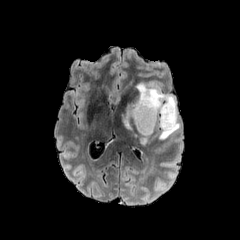
FLAIR MR.
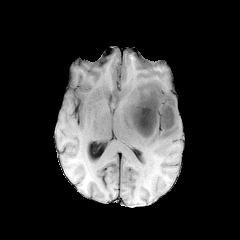
T1-weighted MR image.
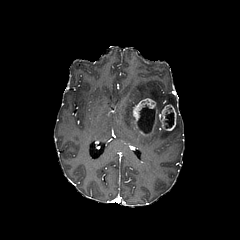
Post-contrast T1-weighted magnetic resonance of the same slice.
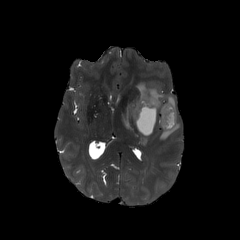
T2-weighted MRI of the same slice.
Brain; 240x240
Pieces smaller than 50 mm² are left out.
necrotic tumor core: box=[164, 112, 174, 128]; box=[137, 104, 155, 133]
enhancing tumor: box=[133, 98, 176, 135]
peritumoral edema: box=[122, 83, 180, 139]; box=[138, 135, 149, 145]